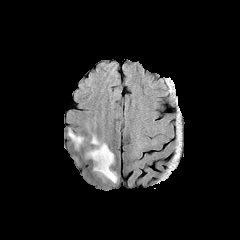
FLAIR MR image.
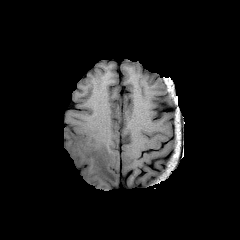
T1-weighted MRI.
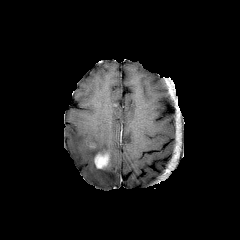
Post-contrast T1-weighted MR image.
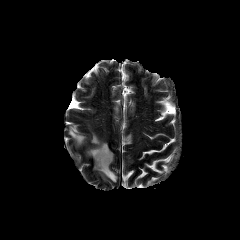
T2-weighted MRI of the same slice.
Brain
peritumoral edema at 86,134,117,182; 68,128,85,148
enhancing tumor at 94,152,109,168